Slice index 58 | Head
FLAIR MR.
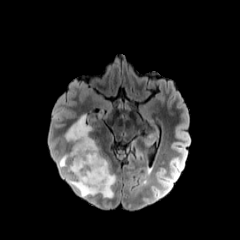
T1-weighted magnetic resonance.
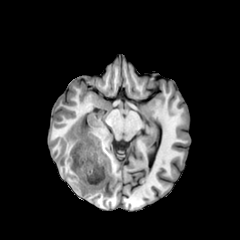
Post-contrast T1-weighted MR image.
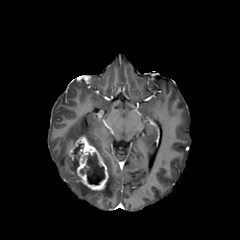
T2-weighted magnetic resonance.
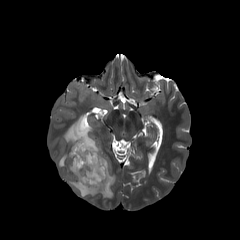
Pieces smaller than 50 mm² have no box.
The 2 largest necrotic tumor core regions are located at {"x1": 80, "y1": 153, "x2": 105, "y2": 185}, {"x1": 72, "y1": 143, "x2": 83, "y2": 158}. The 2 largest peritumoral edema regions appear at {"x1": 58, "y1": 152, "x2": 69, "y2": 167}, {"x1": 64, "y1": 113, "x2": 116, "y2": 198}. The enhancing tumor is bounded by {"x1": 69, "y1": 136, "x2": 108, "y2": 190}.